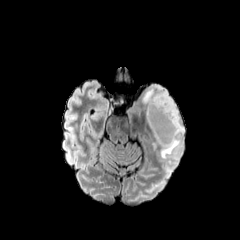
FLAIR MRI.
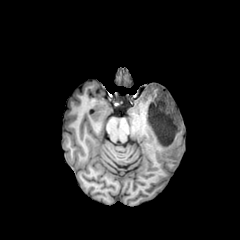
Same slice, T1-weighted MR image.
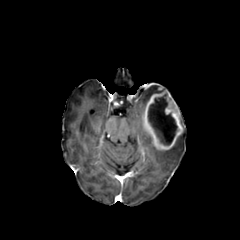
Post-contrast T1-weighted MRI of the same slice.
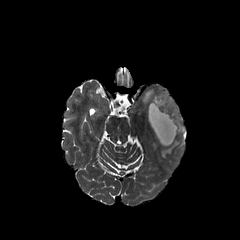
Same slice, T2-weighted MR.
Head. 240x240.
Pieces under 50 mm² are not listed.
necrotic_tumor_core:
  - left=148, top=97, right=177, bottom=145
peritumoral_edema:
  - left=160, top=116, right=184, bottom=158
  - left=142, top=84, right=160, bottom=105
enhancing_tumor:
  - left=143, top=86, right=183, bottom=150